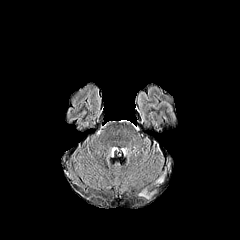
FLAIR MR image.
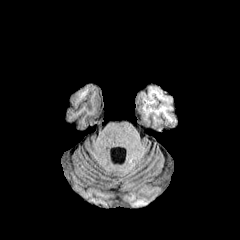
T1-weighted MRI.
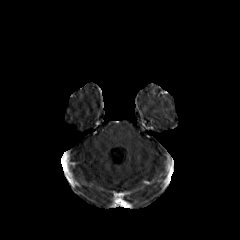
Same slice, post-contrast T1-weighted MR.
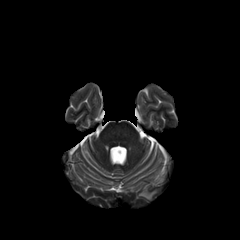
Same slice, T2-weighted magnetic resonance.
Head | Axial slice
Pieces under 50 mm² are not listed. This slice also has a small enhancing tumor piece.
{
  "peritumoral_edema": [
    "box(139, 189, 153, 198)"
  ]
}